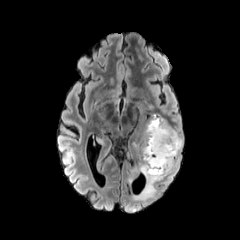
FLAIR MR image.
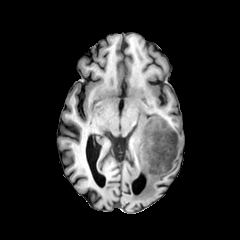
Same slice, T1-weighted MRI.
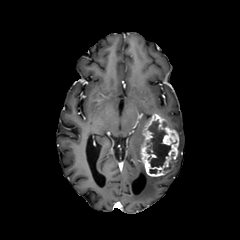
Post-contrast T1-weighted MRI.
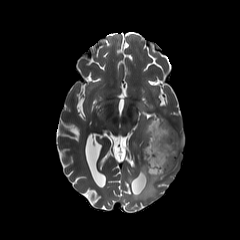
T2-weighted magnetic resonance of the same slice.
Head; Axial view
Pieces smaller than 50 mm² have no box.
<segmentation>
  <peritumoral_edema><bbox>132, 142, 139, 151</bbox>, <bbox>167, 129, 183, 173</bbox>, <bbox>132, 161, 165, 200</bbox></peritumoral_edema>
  <necrotic_tumor_core><bbox>145, 119, 170, 167</bbox></necrotic_tumor_core>
  <enhancing_tumor><bbox>140, 113, 179, 176</bbox></enhancing_tumor>
</segmentation>